Slice index 78 | Brain | Axial slice | 240x240
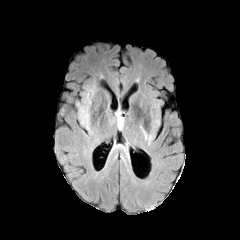
FLAIR magnetic resonance.
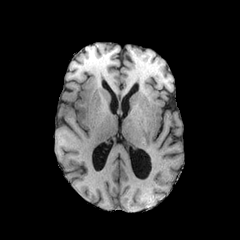
T1-weighted MR.
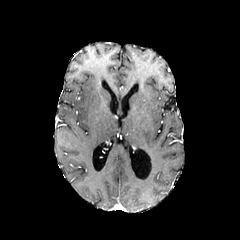
Post-contrast T1-weighted magnetic resonance.
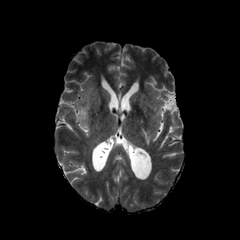
T2-weighted MR image.
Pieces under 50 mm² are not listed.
The largest peritumoral edema region lies within [x1=77, y1=100, x2=91, y2=132].